Axial slice, Brain
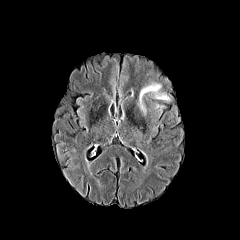
FLAIR MR.
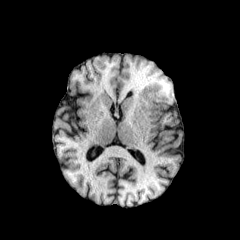
T1-weighted MR image of the same slice.
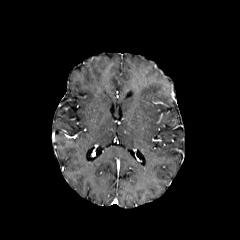
Post-contrast T1-weighted magnetic resonance of the same slice.
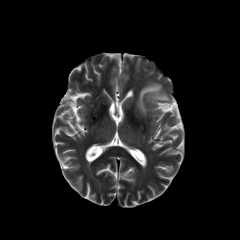
T2-weighted MR.
peritumoral edema — left=139, top=83, right=169, bottom=115